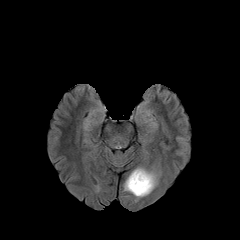
FLAIR MRI.
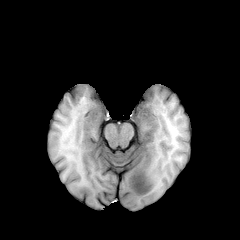
T1-weighted MR image.
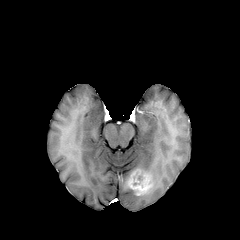
Post-contrast T1-weighted MRI.
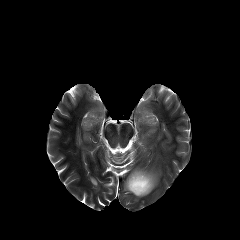
T2-weighted MR.
Axial view | 240x240 | Head
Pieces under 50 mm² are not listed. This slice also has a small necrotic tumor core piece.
peritumoral edema at rect(124, 167, 158, 198)
enhancing tumor at rect(127, 169, 152, 195)